Image width 240 mm, 1.00 mm slice spacing. Brain. Image size 240x240. Slice 58/155.
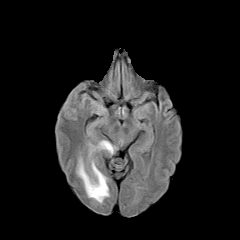
FLAIR MR.
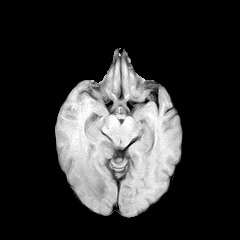
T1-weighted magnetic resonance of the same slice.
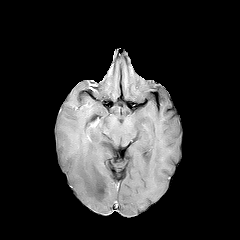
Same slice, post-contrast T1-weighted magnetic resonance.
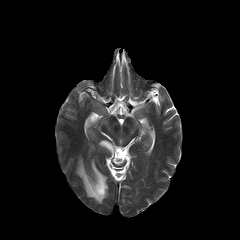
Same slice, T2-weighted MRI.
peritumoral edema: bounding box rect(77, 158, 108, 202); rect(98, 140, 115, 153)